FLAIR magnetic resonance.
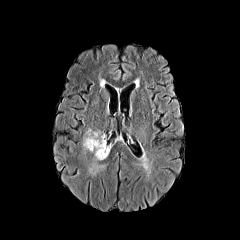
T1-weighted MR image.
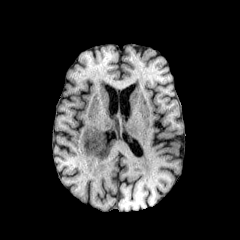
Post-contrast T1-weighted magnetic resonance.
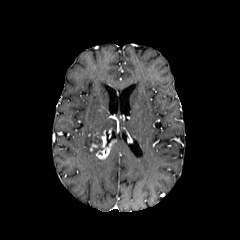
T2-weighted MR.
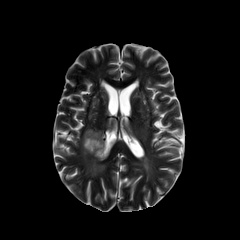
Axial slice
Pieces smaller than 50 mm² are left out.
Annotated regions:
* enhancing tumor: bbox=[96, 134, 116, 159]
* necrotic tumor core: bbox=[93, 139, 103, 152]
* peritumoral edema: bbox=[89, 163, 106, 175]; bbox=[83, 129, 105, 156]